FLAIR MR.
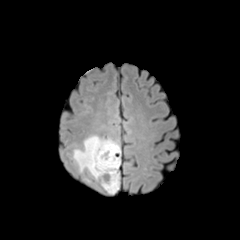
T1-weighted MRI.
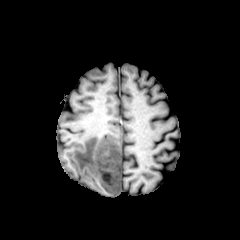
Post-contrast T1-weighted MR image.
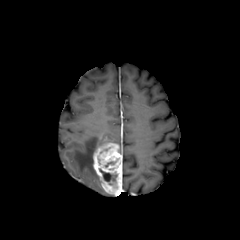
T2-weighted MR image.
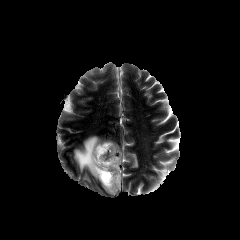
Axial view; Head
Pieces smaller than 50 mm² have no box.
Annotated regions:
* necrotic tumor core: box(99, 169, 117, 181)
* peritumoral edema: box(73, 136, 115, 179)
* enhancing tumor: box(93, 142, 121, 194)